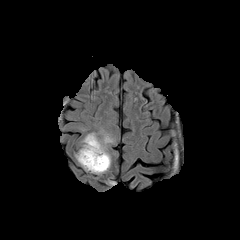
FLAIR MR.
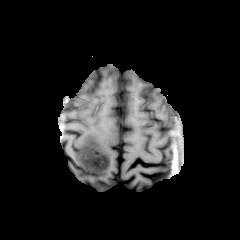
Same slice, T1-weighted magnetic resonance.
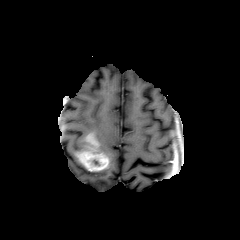
Post-contrast T1-weighted MR image.
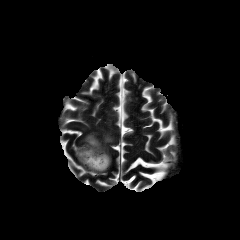
T2-weighted MR of the same slice.
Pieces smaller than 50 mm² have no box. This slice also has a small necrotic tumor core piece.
* enhancing tumor: box(76, 134, 109, 171)
* peritumoral edema: box(89, 132, 113, 174)